Image covers 240 mm x 240 mm
FLAIR MR image.
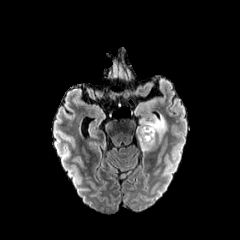
T1-weighted MR.
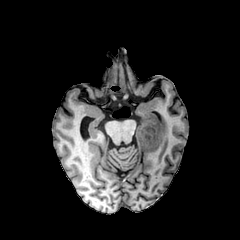
Post-contrast T1-weighted MRI.
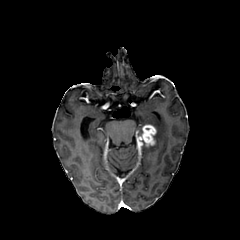
T2-weighted magnetic resonance.
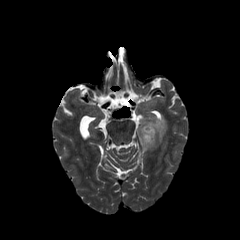
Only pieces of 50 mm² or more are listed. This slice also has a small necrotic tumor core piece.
peritumoral_edema:
  - 137 115 166 151
enhancing_tumor:
  - 136 124 156 147